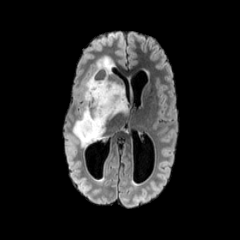
FLAIR MR.
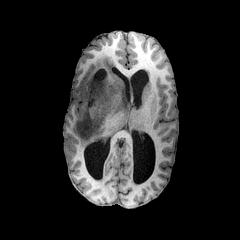
T1-weighted MRI.
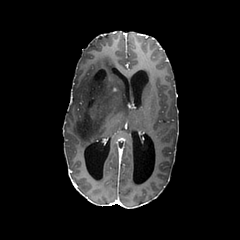
Same slice, post-contrast T1-weighted MR image.
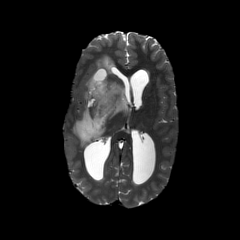
T2-weighted MR image.
240x240 px | Axial plane
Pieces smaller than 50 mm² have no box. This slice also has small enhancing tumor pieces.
The peritumoral edema appears at x1=73 y1=56 x2=128 y2=147. The necrotic tumor core is at x1=94 y1=70 x2=105 y2=80.